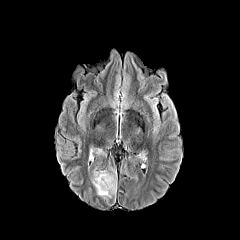
FLAIR MRI.
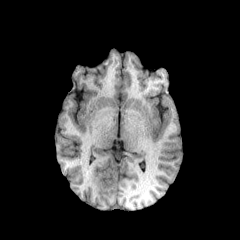
Same slice, T1-weighted MRI.
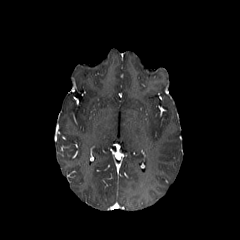
Post-contrast T1-weighted MR image of the same slice.
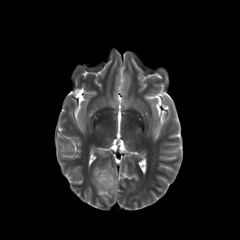
T2-weighted MR image of the same slice.
Brain | Axial slice
peritumoral_edema:
  - (x1=91, y1=170, x2=116, y2=197)